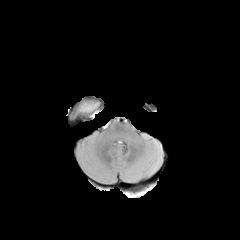
FLAIR magnetic resonance.
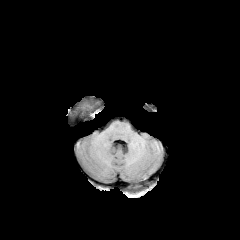
T1-weighted MR of the same slice.
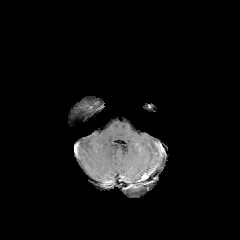
Same slice, post-contrast T1-weighted MR image.
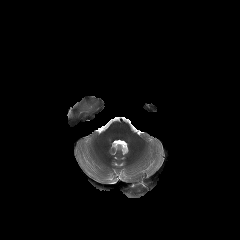
T2-weighted MR.
peritumoral edema: (71, 101, 98, 118)